Slice 45/155
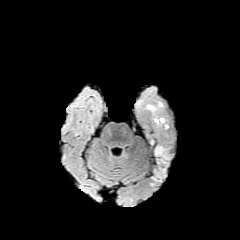
FLAIR magnetic resonance.
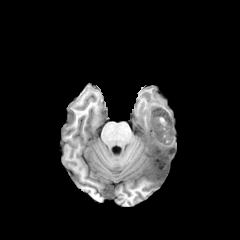
T1-weighted MRI.
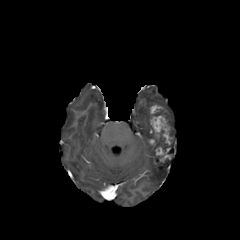
Post-contrast T1-weighted magnetic resonance of the same slice.
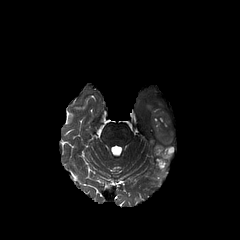
T2-weighted magnetic resonance.
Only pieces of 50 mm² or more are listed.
enhancing tumor = {"x1": 150, "y1": 139, "x2": 171, "y2": 166}, {"x1": 150, "y1": 105, "x2": 170, "y2": 147}
necrotic tumor core = {"x1": 162, "y1": 140, "x2": 170, "y2": 157}
peritumoral edema = {"x1": 157, "y1": 161, "x2": 167, "y2": 181}